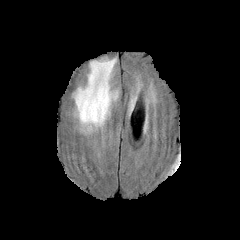
FLAIR MR.
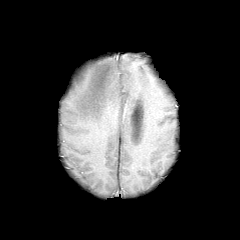
Same slice, T1-weighted magnetic resonance.
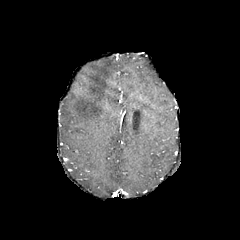
Same slice, post-contrast T1-weighted MR.
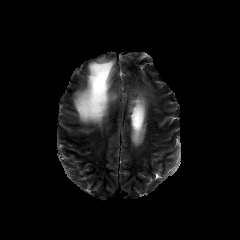
T2-weighted MRI of the same slice.
Brain | Axial view
2 peritumoral edema regions are located at [74, 59, 118, 132], [129, 97, 136, 111].